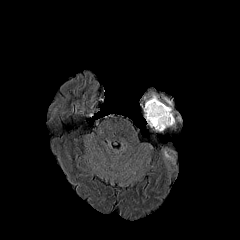
FLAIR magnetic resonance.
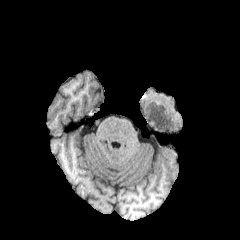
T1-weighted MRI.
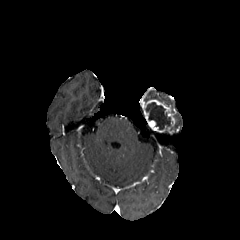
Same slice, post-contrast T1-weighted magnetic resonance.
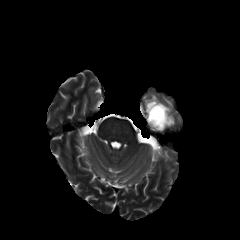
T2-weighted magnetic resonance of the same slice.
Brain
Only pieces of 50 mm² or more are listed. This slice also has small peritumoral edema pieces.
The enhancing tumor is bounded by (142,99,175,132). The necrotic tumor core is bounded by (146,102,170,129).